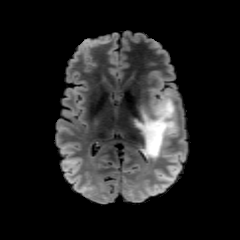
FLAIR magnetic resonance.
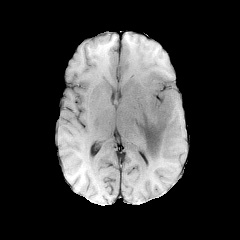
T1-weighted MR.
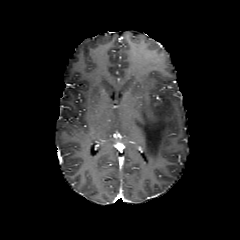
Post-contrast T1-weighted magnetic resonance.
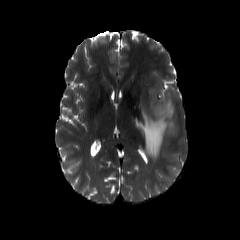
T2-weighted MRI.
Axial view, Head
peritumoral edema = <bbox>136, 92, 178, 159</bbox>